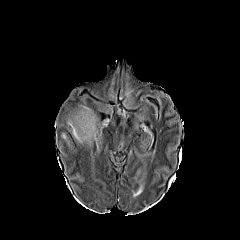
FLAIR MRI.
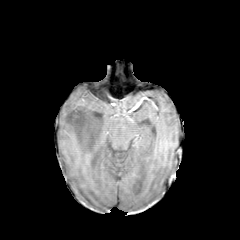
T1-weighted MR image.
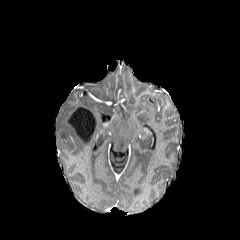
Same slice, post-contrast T1-weighted magnetic resonance.
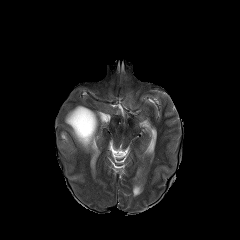
T2-weighted MRI.
Axial slice | 240x240
2 peritumoral edema regions are bounded by 66 105 99 147, 61 132 71 147. The necrotic tumor core appears at 67 107 95 142.